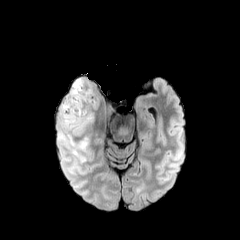
FLAIR MR image.
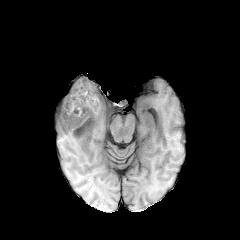
T1-weighted MR.
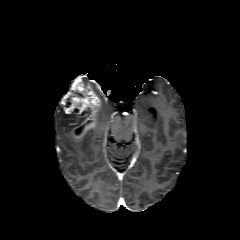
Same slice, post-contrast T1-weighted magnetic resonance.
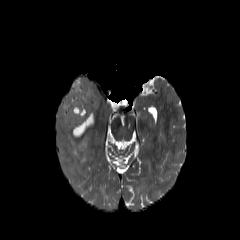
Same slice, T2-weighted MR.
240x240 | Axial slice
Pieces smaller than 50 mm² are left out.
peritumoral edema — l=60, t=134, r=88, b=162; l=60, t=106, r=91, b=129
necrotic tumor core — l=75, t=121, r=91, b=135
enhancing tumor — l=62, t=77, r=100, b=138